Axial view. Brain. Image covers 240 mm x 240 mm.
FLAIR MR.
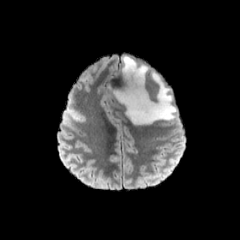
T1-weighted MR image.
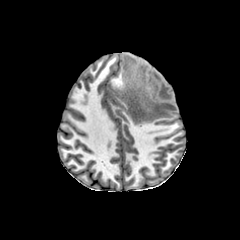
Post-contrast T1-weighted MRI.
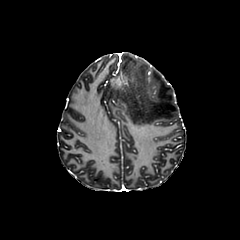
T2-weighted magnetic resonance.
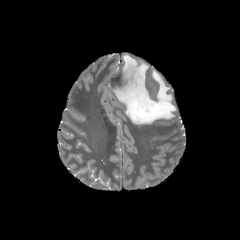
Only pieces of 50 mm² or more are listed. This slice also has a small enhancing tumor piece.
peritumoral edema: box=[113, 55, 176, 124]